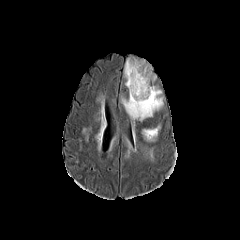
FLAIR MR.
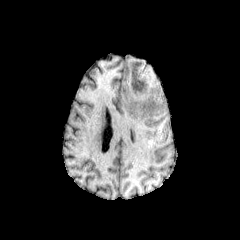
T1-weighted MRI of the same slice.
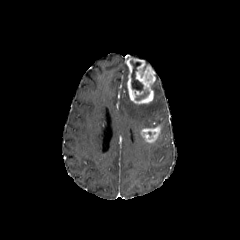
Same slice, post-contrast T1-weighted MRI.
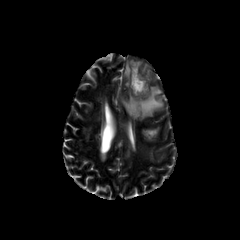
Same slice, T2-weighted MRI.
Brain. Axial view.
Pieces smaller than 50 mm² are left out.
The largest necrotic tumor core region lies within (left=130, top=60, right=142, bottom=91). 3 peritumoral edema regions are bounded by (left=121, top=85, right=163, bottom=121), (left=141, top=144, right=154, bottom=159), (left=124, top=65, right=127, bottom=86). 2 enhancing tumor regions are bounded by (left=126, top=56, right=155, bottom=104), (left=140, top=125, right=160, bottom=142).